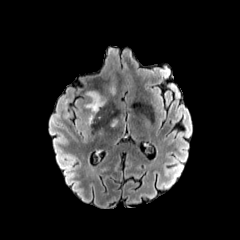
FLAIR MR.
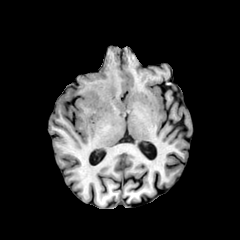
Same slice, T1-weighted MR.
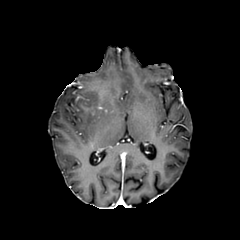
Same slice, post-contrast T1-weighted MRI.
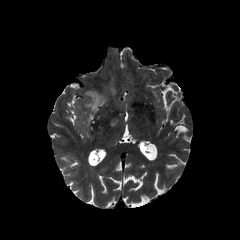
T2-weighted MR image of the same slice.
Brain; Axial plane
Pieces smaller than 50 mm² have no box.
Findings:
- peritumoral edema: bbox(85, 91, 106, 112)